240x240 | Brain
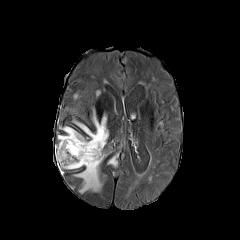
FLAIR magnetic resonance.
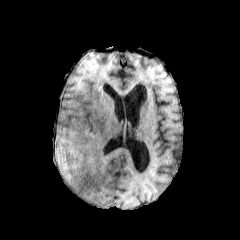
T1-weighted MRI.
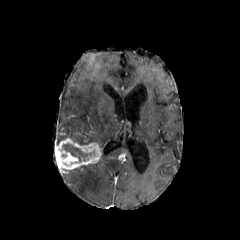
Post-contrast T1-weighted MR image.
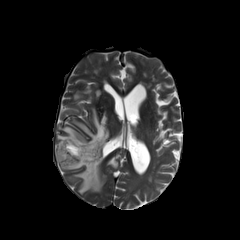
T2-weighted magnetic resonance of the same slice.
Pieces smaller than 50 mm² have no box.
The 4 largest peritumoral edema regions are bounded by 74:110:108:148, 58:127:88:143, 74:157:102:193, 108:157:117:167. The largest necrotic tumor core region lies within 62:144:87:161. The enhancing tumor is at 55:137:102:172.